Slice index 96, Brain, Axial slice
FLAIR MR image.
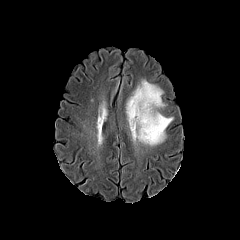
T1-weighted magnetic resonance.
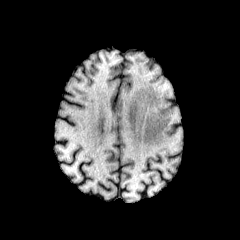
Post-contrast T1-weighted MR image.
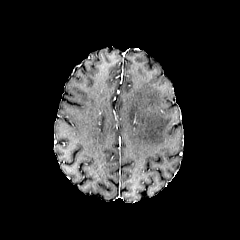
T2-weighted MR image.
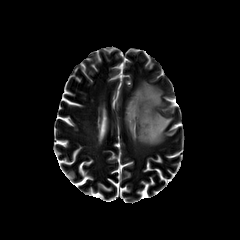
• peritumoral edema: (126, 80, 172, 145)